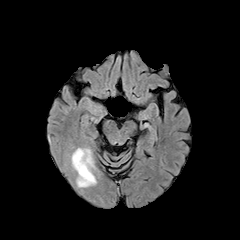
FLAIR MRI.
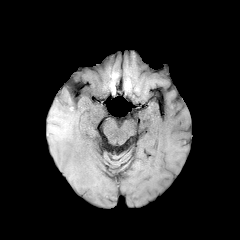
T1-weighted MR.
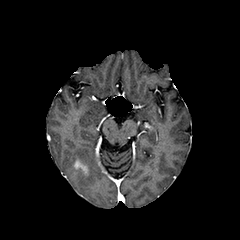
Same slice, post-contrast T1-weighted MRI.
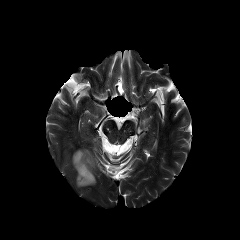
T2-weighted magnetic resonance.
Image size 240x240
peritumoral_edema:
  - l=72, t=148, r=96, b=187
enhancing_tumor:
  - l=74, t=159, r=87, b=174